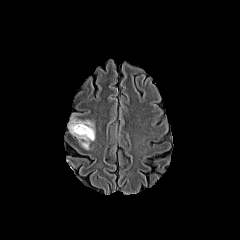
FLAIR MR image.
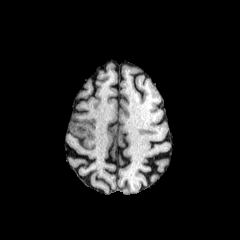
T1-weighted MR of the same slice.
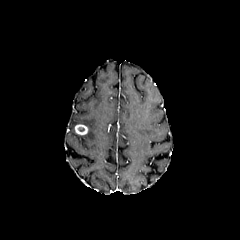
Post-contrast T1-weighted magnetic resonance.
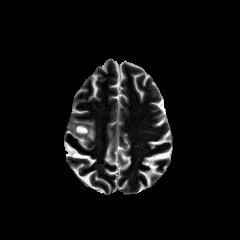
T2-weighted MR.
Image size 240x240; Axial slice
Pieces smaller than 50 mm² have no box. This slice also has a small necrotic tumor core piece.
peritumoral edema: bounding box bbox=[68, 115, 95, 148]
enhancing tumor: bounding box bbox=[74, 124, 88, 135]